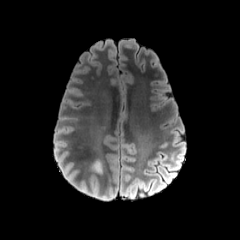
FLAIR MR.
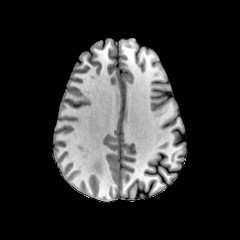
T1-weighted MR of the same slice.
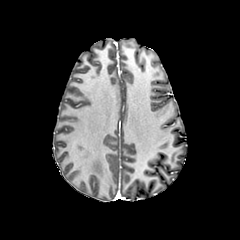
Post-contrast T1-weighted MR.
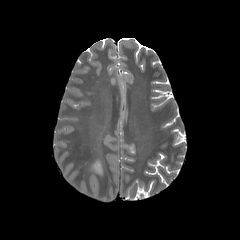
T2-weighted MR.
240x240 px | Axial plane
The peritumoral edema is at <bbox>93, 161, 101, 172</bbox>.